FLAIR magnetic resonance.
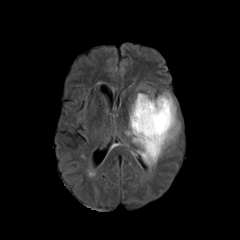
T1-weighted MR image.
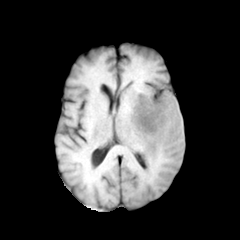
Post-contrast T1-weighted magnetic resonance.
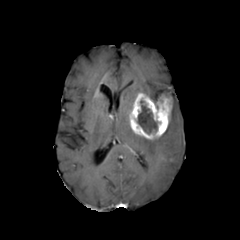
T2-weighted MR image.
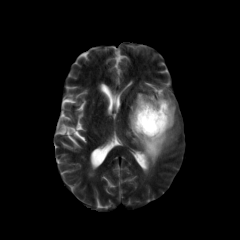
Brain, Axial plane
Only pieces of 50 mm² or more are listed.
The enhancing tumor appears at (left=129, top=93, right=172, bottom=139). The largest peritumoral edema region is bounded by (left=126, top=97, right=180, bottom=168). The largest necrotic tumor core region is bounded by (left=137, top=105, right=157, bottom=133).